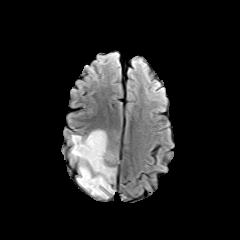
FLAIR MR.
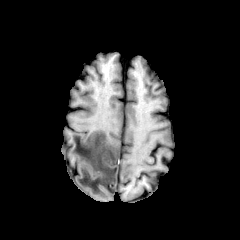
T1-weighted MR image.
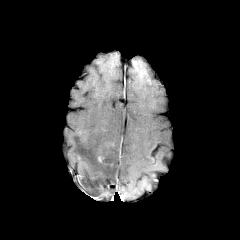
Same slice, post-contrast T1-weighted magnetic resonance.
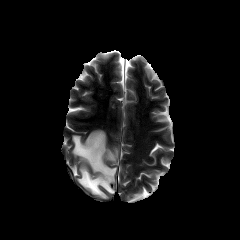
T2-weighted MR image.
Axial slice. 240x240.
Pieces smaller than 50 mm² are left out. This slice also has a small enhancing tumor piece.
peritumoral edema — (x1=71, y1=130, x2=116, y2=198)